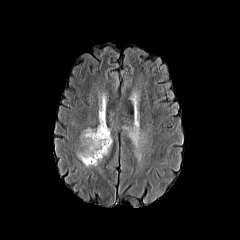
FLAIR MR.
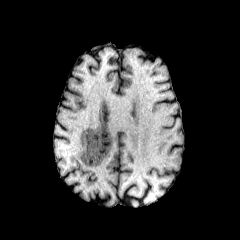
Same slice, T1-weighted MR image.
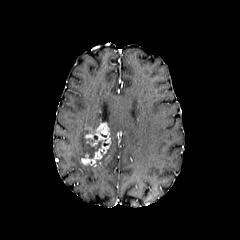
Same slice, post-contrast T1-weighted MR image.
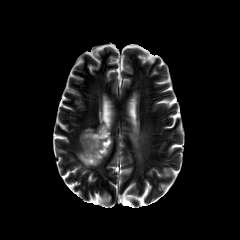
Same slice, T2-weighted magnetic resonance.
Axial view. Head.
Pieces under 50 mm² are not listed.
{
  "enhancing_tumor": [
    "(81,122,111,165)"
  ],
  "necrotic_tumor_core": [
    "(89,141,101,158)"
  ],
  "peritumoral_edema": [
    "(97,92,107,122)",
    "(75,127,95,159)",
    "(122,124,139,147)"
  ]
}